FLAIR MR image.
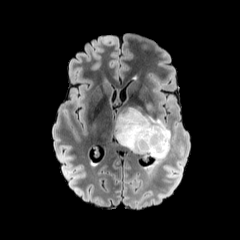
T1-weighted MR.
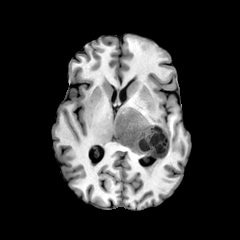
Post-contrast T1-weighted MR image.
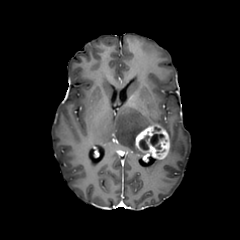
T2-weighted MR image.
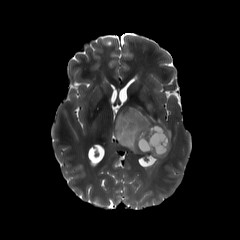
Image size 240x240. Axial plane. Brain.
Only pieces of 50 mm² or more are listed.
enhancing tumor at bbox=[135, 124, 169, 159]
peritumoral edema at bbox=[115, 107, 171, 154]
necrotic tumor core at bbox=[139, 134, 164, 150]